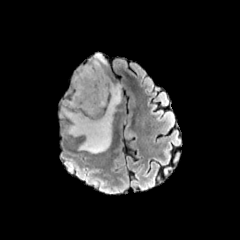
FLAIR MR.
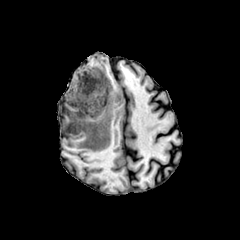
T1-weighted MRI.
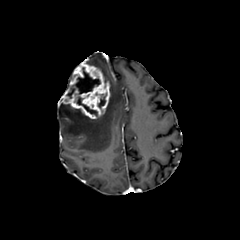
Post-contrast T1-weighted MRI.
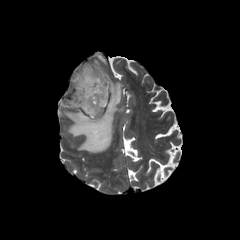
T2-weighted magnetic resonance.
240x240.
enhancing tumor: l=62, t=63, r=110, b=118 | necrotic tumor core: l=77, t=97, r=97, b=115; l=98, t=96, r=105, b=108; l=67, t=67, r=100, b=98 | peritumoral edema: l=62, t=83, r=121, b=153; l=91, t=60, r=108, b=80; l=95, t=54, r=106, b=64